FLAIR MR image.
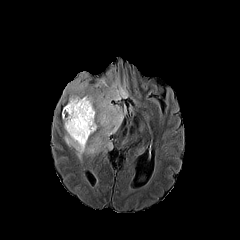
T1-weighted MRI.
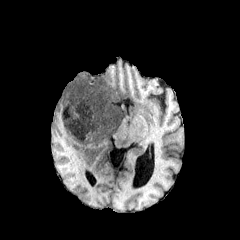
Post-contrast T1-weighted MRI.
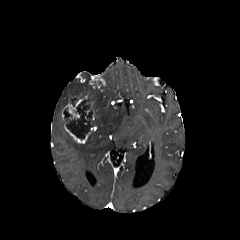
T2-weighted MRI.
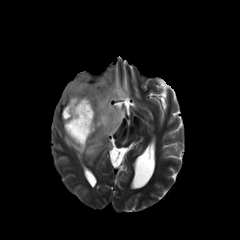
Head
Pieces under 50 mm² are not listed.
The largest enhancing tumor region is at {"x1": 62, "y1": 77, "x2": 105, "y2": 143}. The 2 largest peritumoral edema regions are bounded by {"x1": 64, "y1": 73, "x2": 129, "y2": 159}, {"x1": 62, "y1": 78, "x2": 92, "y2": 97}. 2 necrotic tumor core regions appear at {"x1": 71, "y1": 96, "x2": 79, "y2": 106}, {"x1": 64, "y1": 98, "x2": 93, "y2": 139}.